FLAIR MRI.
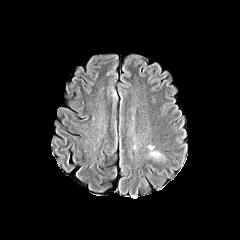
T1-weighted magnetic resonance.
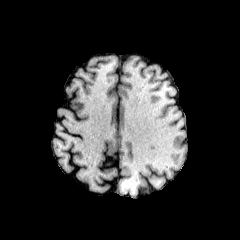
Post-contrast T1-weighted magnetic resonance.
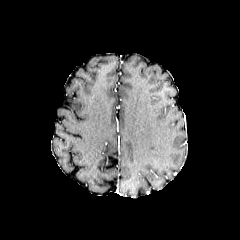
T2-weighted magnetic resonance.
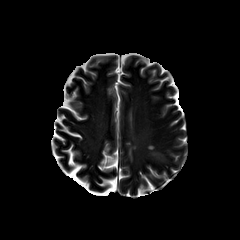
Head | Axial view
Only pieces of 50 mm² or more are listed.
Annotated regions:
* peritumoral edema: bbox=[148, 150, 165, 158]